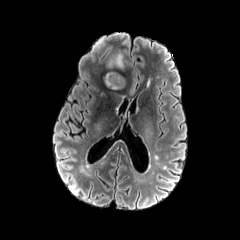
FLAIR MRI.
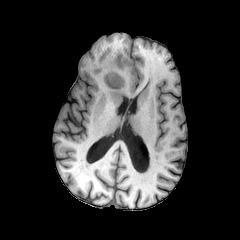
Same slice, T1-weighted MRI.
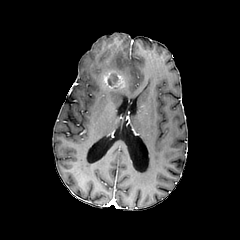
Post-contrast T1-weighted MRI.
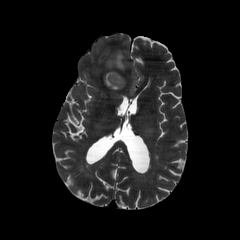
T2-weighted MR image.
Axial view.
peritumoral edema: (109, 52, 124, 68) | enhancing tumor: (102, 70, 125, 89) | necrotic tumor core: (108, 74, 117, 85)